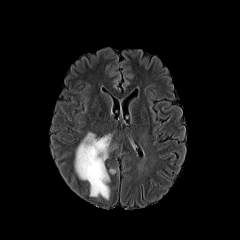
FLAIR MR image.
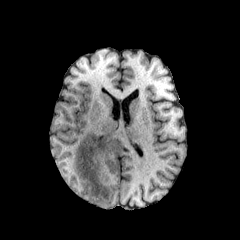
Same slice, T1-weighted magnetic resonance.
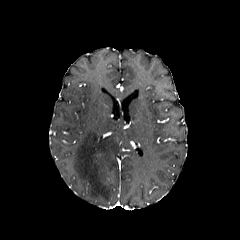
Post-contrast T1-weighted MRI.
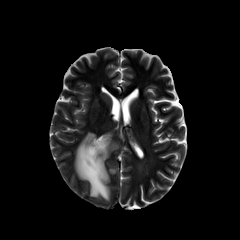
T2-weighted MR image.
Image size 240x240
peritumoral edema = 75, 132, 111, 199